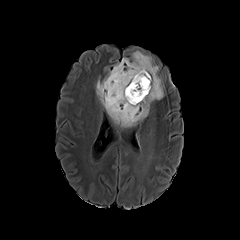
FLAIR MR image.
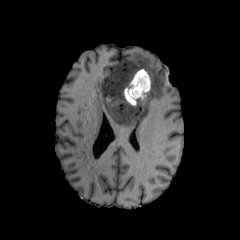
T1-weighted MR.
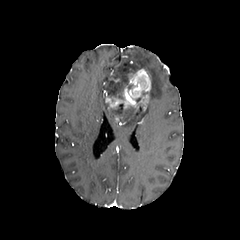
Same slice, post-contrast T1-weighted MRI.
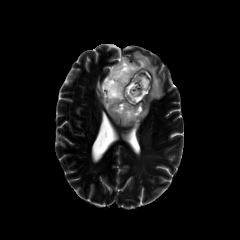
T2-weighted magnetic resonance of the same slice.
Axial slice
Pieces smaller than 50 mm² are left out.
The peritumoral edema lies within 96,51,165,127. The largest enhancing tumor region is located at 104,69,150,112. The 2 largest necrotic tumor core regions are located at 111,103,135,120; 104,62,134,99.